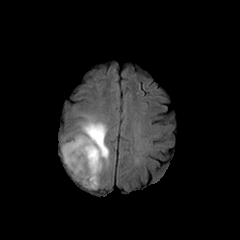
FLAIR magnetic resonance.
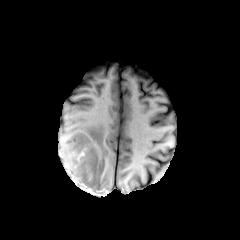
T1-weighted MR image.
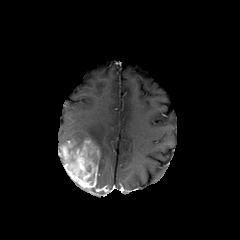
Post-contrast T1-weighted magnetic resonance of the same slice.
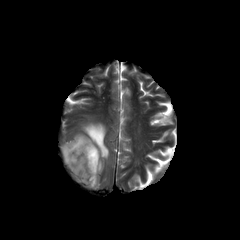
T2-weighted magnetic resonance.
Axial slice.
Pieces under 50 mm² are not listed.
The largest peritumoral edema region is at box(72, 117, 109, 189). The enhancing tumor is at box(60, 138, 100, 188).